Axial slice | Head
FLAIR MRI.
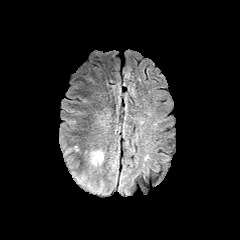
T1-weighted MR.
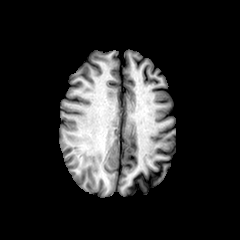
Post-contrast T1-weighted MR image.
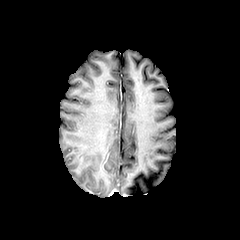
T2-weighted MRI.
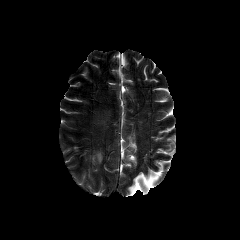
peritumoral edema: <box>92,151,102,163</box>